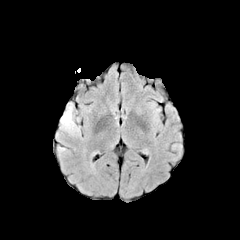
FLAIR magnetic resonance.
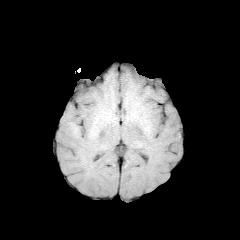
Same slice, T1-weighted MR.
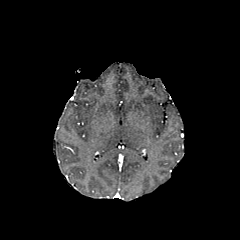
Post-contrast T1-weighted MR.
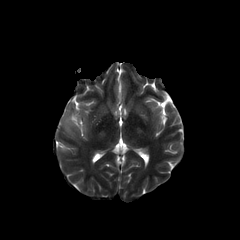
Same slice, T2-weighted MR.
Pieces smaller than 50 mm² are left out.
• peritumoral edema: 60:102:80:136